Image width 240 mm, 1.00 mm slice spacing | Brain | 240x240 px | Slice 72/155
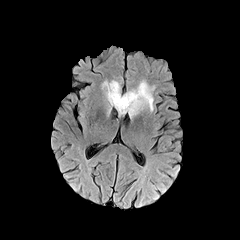
FLAIR magnetic resonance.
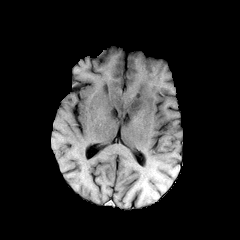
Same slice, T1-weighted magnetic resonance.
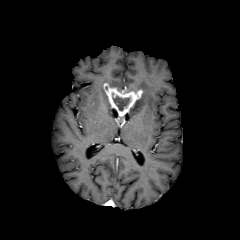
Post-contrast T1-weighted magnetic resonance.
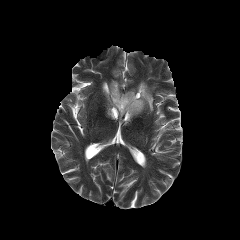
T2-weighted MRI of the same slice.
The necrotic tumor core appears at bbox=[113, 96, 129, 110]. 2 peritumoral edema regions are bounded by bbox=[102, 80, 129, 114]; bbox=[127, 80, 155, 117]. The enhancing tumor appears at bbox=[103, 83, 142, 116].